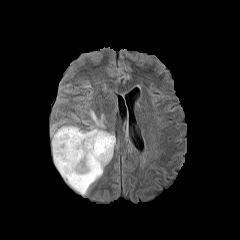
FLAIR MR image.
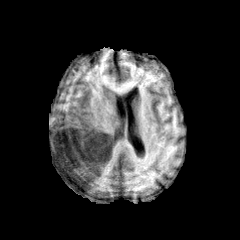
T1-weighted MR image.
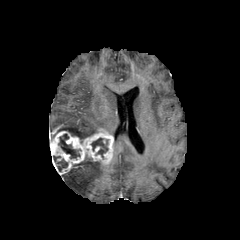
Same slice, post-contrast T1-weighted MR.
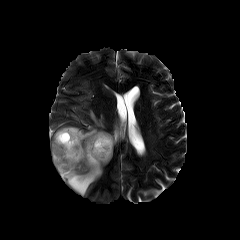
T2-weighted MRI.
Brain.
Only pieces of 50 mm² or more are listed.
The enhancing tumor is located at 50, 129, 113, 174. The 2 largest peritumoral edema regions appear at 52, 110, 104, 139; 61, 158, 104, 195. 3 necrotic tumor core regions are bounded by 59, 134, 79, 158; 53, 156, 67, 171; 91, 138, 108, 158.